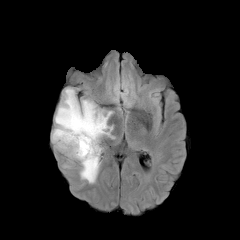
FLAIR MR image.
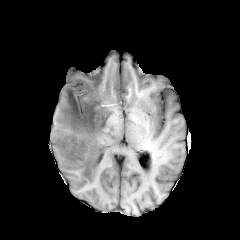
T1-weighted MR.
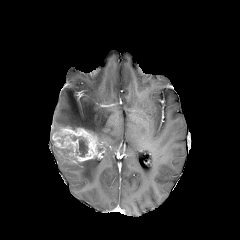
Post-contrast T1-weighted MR image.
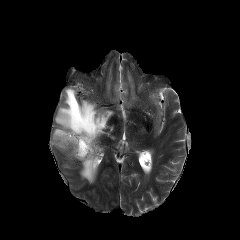
T2-weighted MR.
240x240 px, Brain
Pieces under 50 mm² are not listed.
The necrotic tumor core appears at box=[73, 137, 86, 156]. The 2 largest peritumoral edema regions are located at box=[77, 158, 99, 182]; box=[53, 88, 114, 143]. The enhancing tumor appears at box=[52, 126, 103, 163].